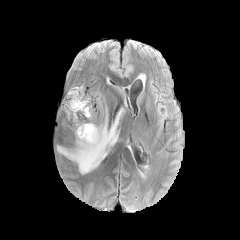
FLAIR MR image.
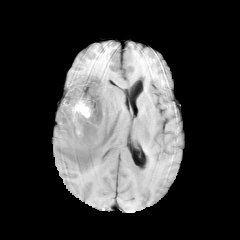
Same slice, T1-weighted magnetic resonance.
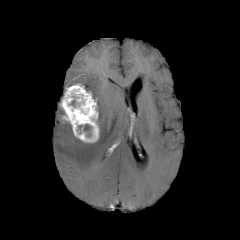
Post-contrast T1-weighted MR image.
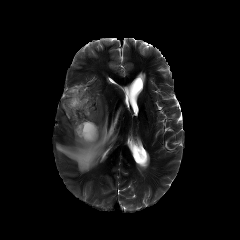
T2-weighted MR image.
Axial plane | Brain | Image size 240x240
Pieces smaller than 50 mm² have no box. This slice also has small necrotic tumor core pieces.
The largest peritumoral edema region is bounded by <box>56,107,121,173</box>. The enhancing tumor is bounded by <box>61,83,99,142</box>.